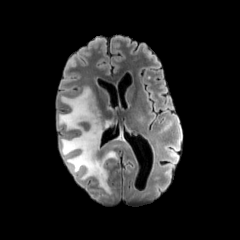
FLAIR magnetic resonance.
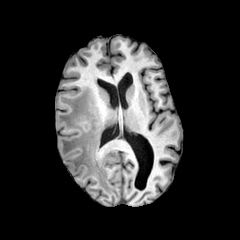
T1-weighted magnetic resonance.
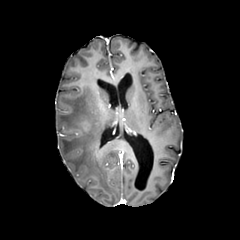
Post-contrast T1-weighted magnetic resonance.
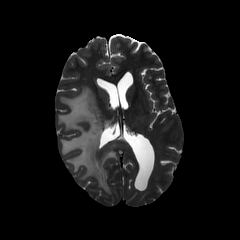
Same slice, T2-weighted MRI.
240x240. Brain.
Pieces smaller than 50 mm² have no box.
Segmented structures:
• peritumoral edema: rect(58, 86, 129, 193)